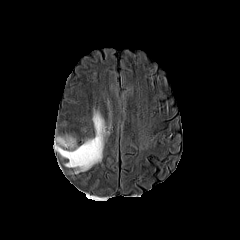
FLAIR magnetic resonance.
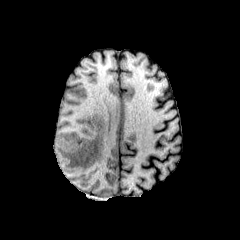
Same slice, T1-weighted magnetic resonance.
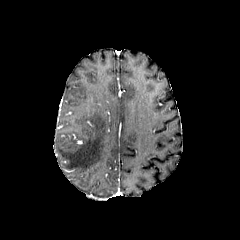
Same slice, post-contrast T1-weighted MRI.
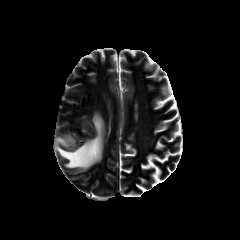
T2-weighted MRI of the same slice.
Axial view
peritumoral edema: bounding box left=55, top=112, right=105, bottom=173